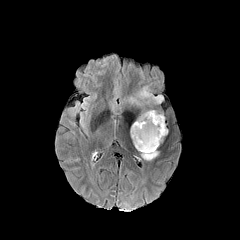
FLAIR MRI.
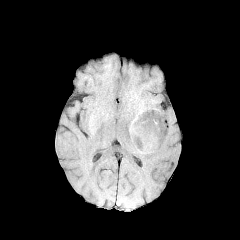
T1-weighted MRI.
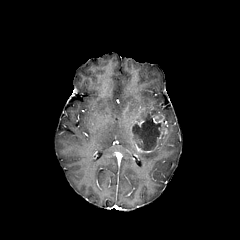
Post-contrast T1-weighted MRI.
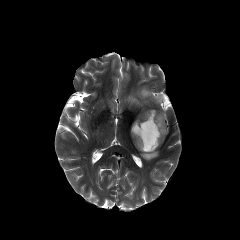
Same slice, T2-weighted magnetic resonance.
Axial slice
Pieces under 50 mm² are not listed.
<segmentation>
  <enhancing_tumor>rect(132, 127, 153, 152); rect(149, 112, 167, 148); rect(133, 114, 148, 126)</enhancing_tumor>
  <necrotic_tumor_core>rect(133, 114, 161, 150)</necrotic_tumor_core>
  <peritumoral_edema>rect(138, 87, 163, 103); rect(141, 148, 158, 160); rect(137, 110, 158, 120)</peritumoral_edema>
</segmentation>